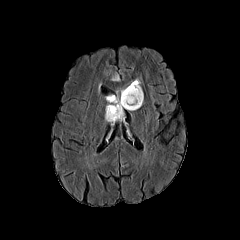
FLAIR MR image.
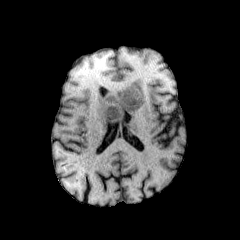
T1-weighted MR.
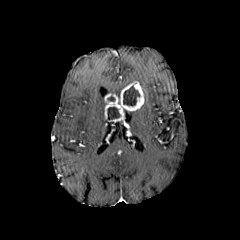
Post-contrast T1-weighted MRI.
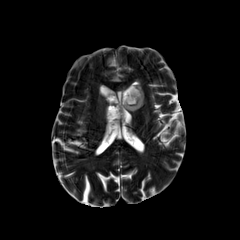
T2-weighted MR of the same slice.
Axial view
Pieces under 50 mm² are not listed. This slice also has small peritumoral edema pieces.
necrotic tumor core at x1=123, y1=86, x2=139, y2=105; x1=107, y1=107, x2=120, y2=119
enhancing tumor at x1=104, y1=81, x2=143, y2=122